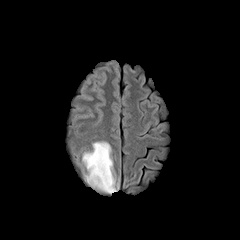
FLAIR MR.
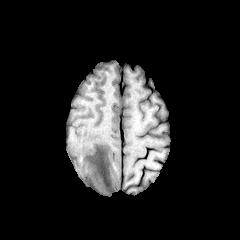
T1-weighted magnetic resonance of the same slice.
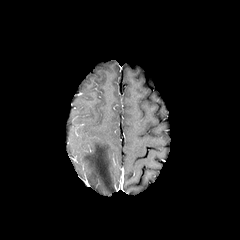
Post-contrast T1-weighted magnetic resonance of the same slice.
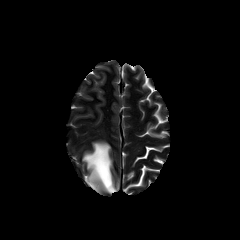
T2-weighted MR image of the same slice.
240x240 px
The peritumoral edema is located at {"x1": 82, "y1": 141, "x2": 118, "y2": 193}.